Brain, Slice 97 of 155, Image size 240x240
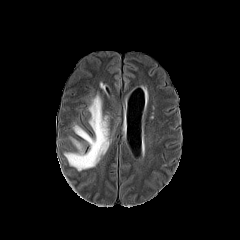
FLAIR magnetic resonance.
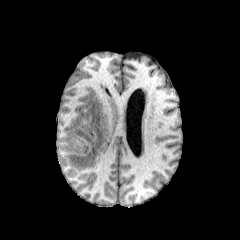
T1-weighted MR image.
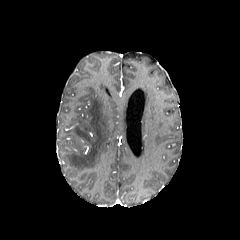
Same slice, post-contrast T1-weighted magnetic resonance.
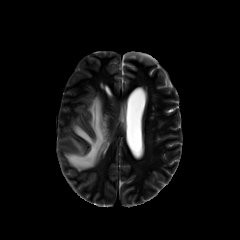
T2-weighted magnetic resonance.
peritumoral edema: bounding box region(100, 81, 108, 95); region(64, 94, 109, 171)